Brain.
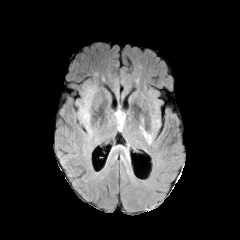
FLAIR MR image.
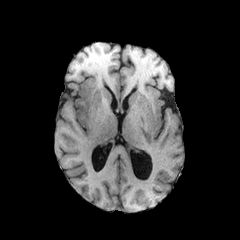
T1-weighted MR image of the same slice.
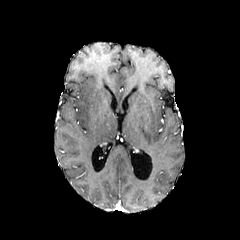
Post-contrast T1-weighted MRI of the same slice.
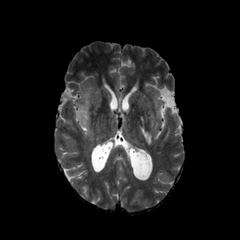
T2-weighted MR image of the same slice.
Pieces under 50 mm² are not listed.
peritumoral edema — (left=76, top=98, right=92, bottom=136), (left=143, top=132, right=151, bottom=143)